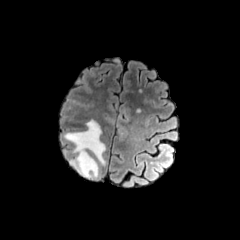
FLAIR MR image.
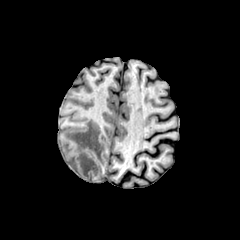
T1-weighted magnetic resonance.
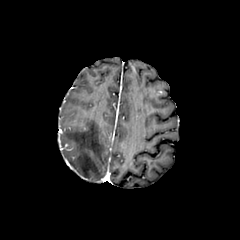
Same slice, post-contrast T1-weighted MRI.
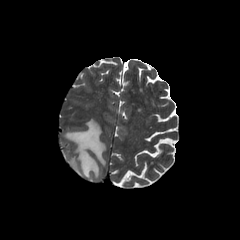
T2-weighted MR.
Head
Findings:
• peritumoral edema: (64,120,105,178)